Axial plane | Slice 92 of 155 | Image covers 240 mm x 240 mm | Head
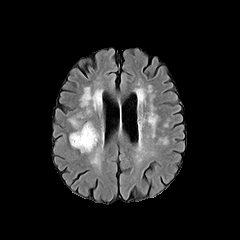
FLAIR MR.
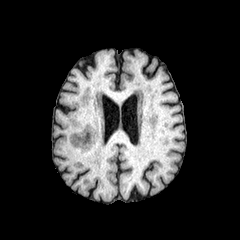
Same slice, T1-weighted MR image.
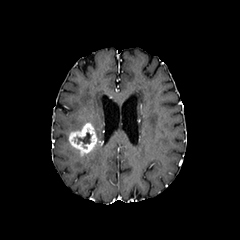
Post-contrast T1-weighted MR.
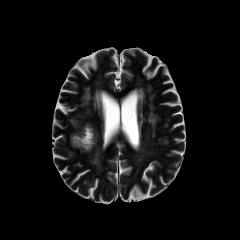
T2-weighted MR image.
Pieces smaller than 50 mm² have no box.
<segmentation>
  <necrotic_tumor_core>box(77, 132, 90, 143)</necrotic_tumor_core>
  <enhancing_tumor>box(69, 123, 97, 154)</enhancing_tumor>
  <peritumoral_edema>box(67, 116, 82, 130)</peritumoral_edema>
</segmentation>